Image size 240x240, Brain, Axial view
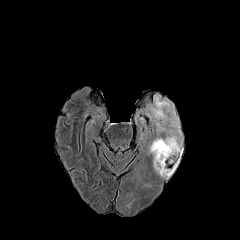
FLAIR MR image.
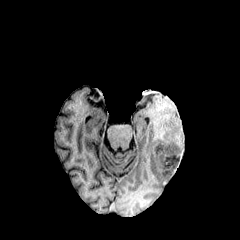
Same slice, T1-weighted MRI.
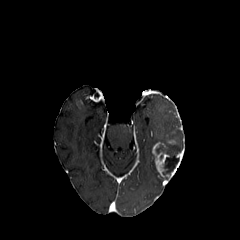
Post-contrast T1-weighted MR image.
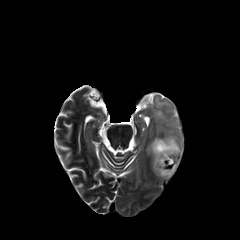
T2-weighted magnetic resonance.
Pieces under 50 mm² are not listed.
{
  "necrotic_tumor_core": [
    "[163, 147, 180, 174]"
  ],
  "peritumoral_edema": [
    "[149, 96, 182, 153]"
  ],
  "enhancing_tumor": [
    "[152, 142, 182, 179]"
  ]
}